Slice 74/155; Head
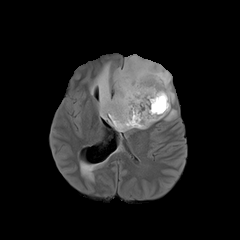
FLAIR MR image.
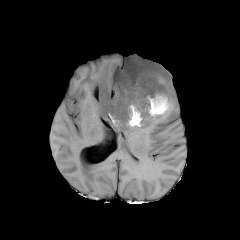
T1-weighted MR image of the same slice.
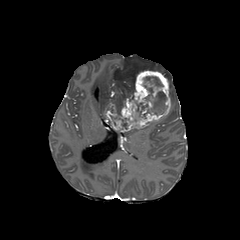
Post-contrast T1-weighted magnetic resonance of the same slice.
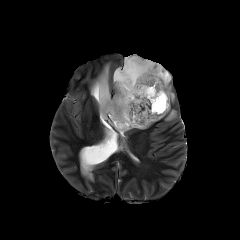
T2-weighted MRI of the same slice.
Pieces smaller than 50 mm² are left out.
peritumoral edema: box(90, 55, 174, 119); box(165, 109, 176, 120)
enhancing tumor: box(103, 70, 170, 132)
necrotic tumor core: box(136, 102, 148, 116); box(145, 87, 153, 100); box(144, 76, 162, 86); box(143, 91, 167, 118)